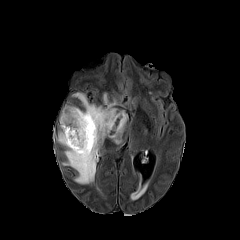
FLAIR MRI.
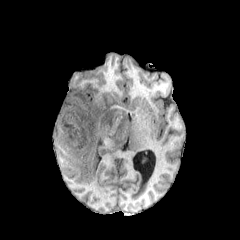
T1-weighted magnetic resonance of the same slice.
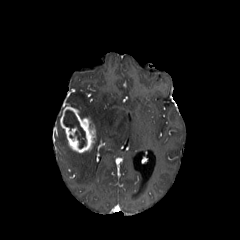
Post-contrast T1-weighted MR.
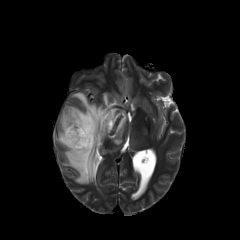
T2-weighted magnetic resonance.
Axial plane
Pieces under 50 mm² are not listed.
enhancing tumor at [x1=60, y1=106, x2=95, y2=152]
peritumoral edema at [x1=57, y1=92, x2=128, y2=184], [x1=129, y1=172, x2=148, y2=200]
necrotic tumor core at [x1=63, y1=110, x2=86, y2=148]